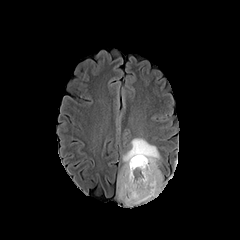
FLAIR MR.
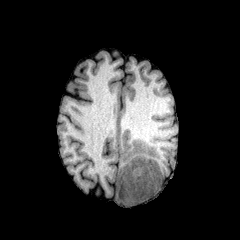
Same slice, T1-weighted MR image.
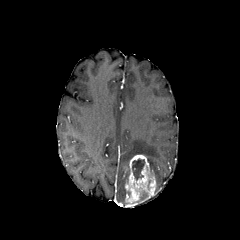
Post-contrast T1-weighted MRI.
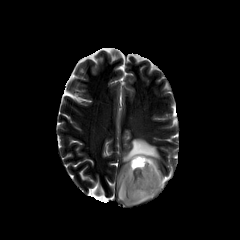
T2-weighted magnetic resonance of the same slice.
Brain. Axial slice.
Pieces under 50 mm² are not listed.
Annotated regions:
* enhancing tumor: {"x1": 124, "y1": 155, "x2": 159, "y2": 207}
* necrotic tumor core: {"x1": 132, "y1": 158, "x2": 144, "y2": 179}
* peritumoral edema: {"x1": 117, "y1": 138, "x2": 163, "y2": 201}